FLAIR magnetic resonance.
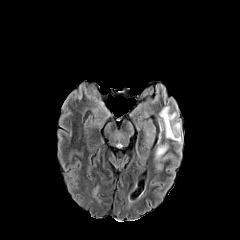
T1-weighted MRI.
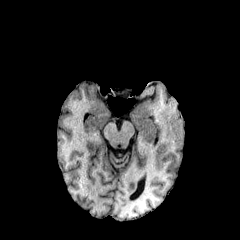
Post-contrast T1-weighted magnetic resonance.
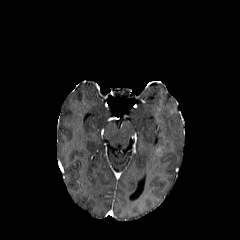
T2-weighted MR.
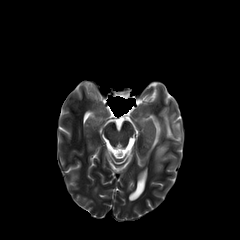
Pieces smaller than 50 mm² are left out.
The 2 largest peritumoral edema regions are bounded by 155,144,167,160; 159,107,180,143. The enhancing tumor is bounded by 156,147,163,154.